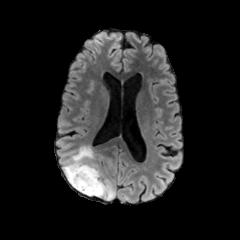
FLAIR MRI.
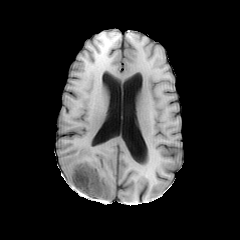
Same slice, T1-weighted MR.
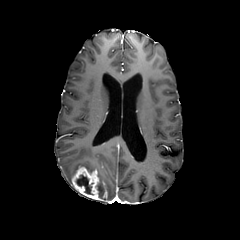
Same slice, post-contrast T1-weighted magnetic resonance.
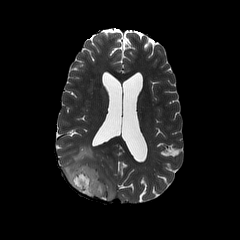
T2-weighted magnetic resonance.
Axial view.
necrotic tumor core = (76,174,93,194)
enhancing tumor = (71,166,101,199)
peritumoral edema = (63,145,115,200)